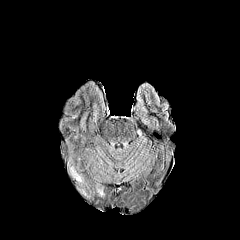
FLAIR MRI.
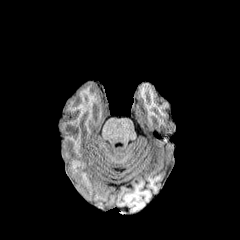
T1-weighted MRI of the same slice.
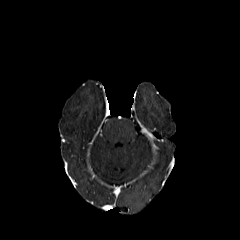
Post-contrast T1-weighted MR.
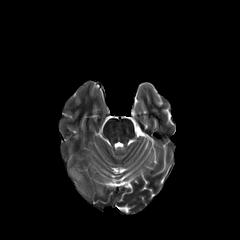
T2-weighted MR image.
Image size 240x240. Head.
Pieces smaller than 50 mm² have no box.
peritumoral edema: left=71, top=168, right=81, bottom=180